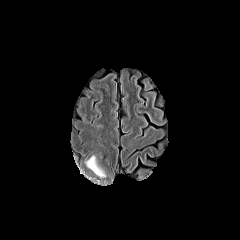
FLAIR MR image.
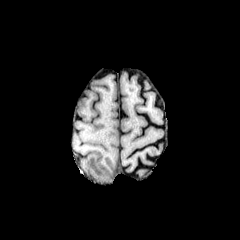
Same slice, T1-weighted MR.
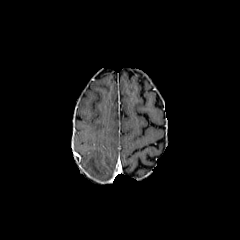
Post-contrast T1-weighted magnetic resonance.
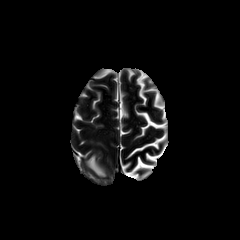
T2-weighted MRI.
Head
peritumoral edema: x1=85, y1=155, x2=105, y2=177